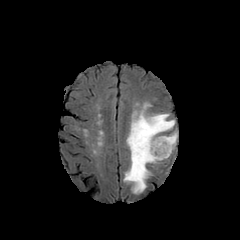
FLAIR magnetic resonance.
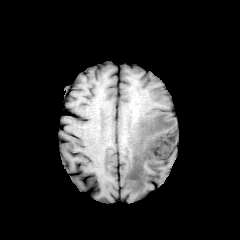
T1-weighted MR image of the same slice.
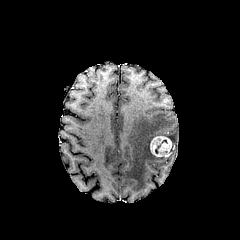
Post-contrast T1-weighted magnetic resonance of the same slice.
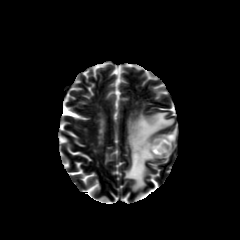
T2-weighted MRI of the same slice.
Head
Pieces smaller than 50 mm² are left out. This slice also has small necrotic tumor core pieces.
- peritumoral edema: <bbox>124, 103, 177, 193</bbox>
- enhancing tumor: <bbox>150, 136, 172, 157</bbox>